Brain
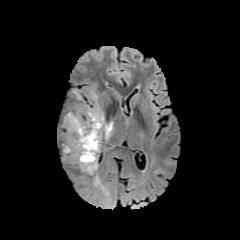
FLAIR MR image.
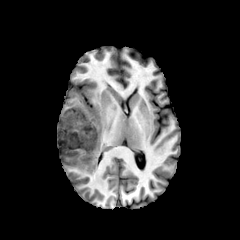
T1-weighted MRI.
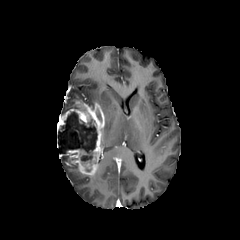
Post-contrast T1-weighted MR image.
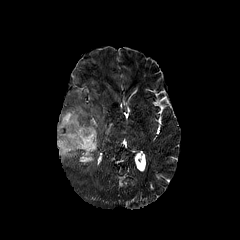
Same slice, T2-weighted MR.
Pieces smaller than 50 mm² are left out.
necrotic tumor core: bounding box [x1=57, y1=111, x2=97, y2=162]
peritumoral edema: bounding box [x1=103, y1=122, x2=113, y2=139]
enhancing tumor: bounding box [x1=57, y1=101, x2=104, y2=175]